Head; Image size 240x240; Axial view; Image width 240 mm, 1.00 mm slice spacing
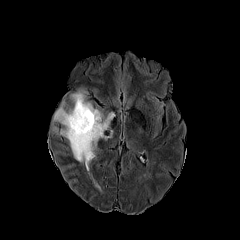
FLAIR MR.
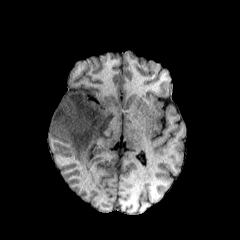
T1-weighted MRI.
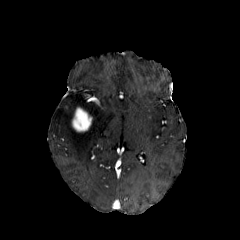
Post-contrast T1-weighted MR.
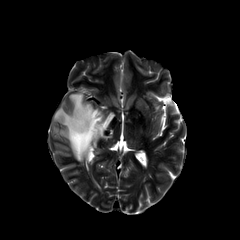
T2-weighted MR.
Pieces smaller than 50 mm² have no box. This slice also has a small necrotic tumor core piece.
peritumoral edema = x1=53 y1=90 x2=115 y2=171
enhancing tumor = x1=71 y1=106 x2=92 y2=132